Slice 85 of 155 | Head
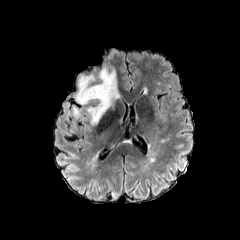
FLAIR MR image.
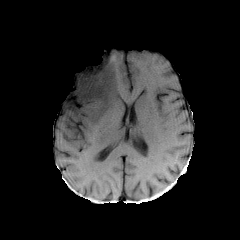
Same slice, T1-weighted MR.
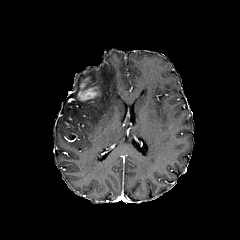
Post-contrast T1-weighted MR image.
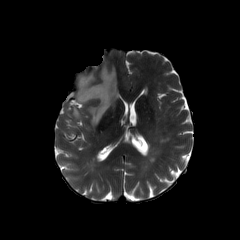
T2-weighted MRI.
enhancing tumor at 78 78 101 101
peritumoral edema at 73 106 81 118, 76 66 119 125